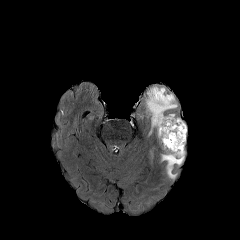
FLAIR MR image.
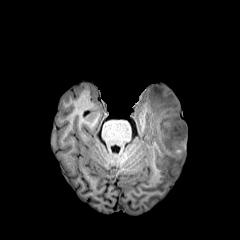
T1-weighted magnetic resonance.
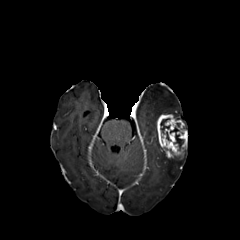
Post-contrast T1-weighted magnetic resonance of the same slice.
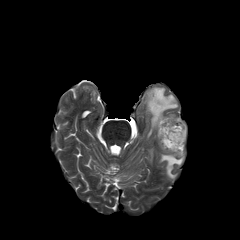
T2-weighted MR.
240x240 px | Head | Axial plane
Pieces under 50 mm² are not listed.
Annotated regions:
• peritumoral edema: bbox=[147, 87, 177, 127]; bbox=[161, 154, 183, 178]
• necrotic tumor core: bbox=[161, 119, 169, 131]; bbox=[175, 134, 183, 148]
• enhancing tumor: bbox=[156, 114, 187, 159]